FLAIR MR image.
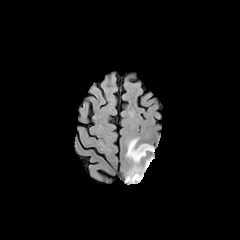
T1-weighted MR image.
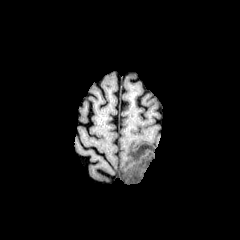
Post-contrast T1-weighted magnetic resonance.
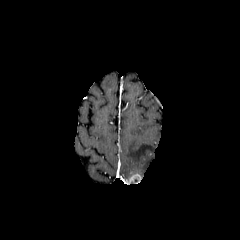
T2-weighted magnetic resonance.
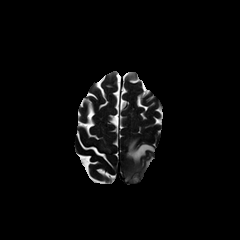
Axial plane | Head
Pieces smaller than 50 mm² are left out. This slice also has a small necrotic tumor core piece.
peritumoral edema — left=126, top=138, right=154, bottom=175
enhancing tumor — left=126, top=172, right=142, bottom=183